Axial slice, Image covers 240 mm x 240 mm
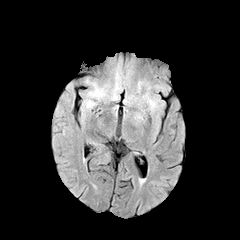
FLAIR MRI.
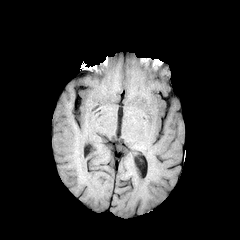
T1-weighted MR.
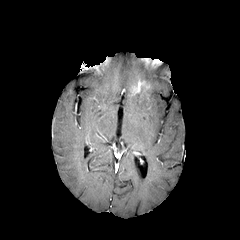
Post-contrast T1-weighted MR.
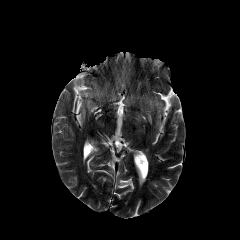
T2-weighted MR.
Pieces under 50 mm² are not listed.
enhancing tumor = (136, 81, 144, 92)
peritumoral edema = (87, 83, 107, 98), (112, 83, 119, 99), (143, 94, 158, 110)